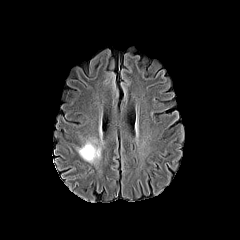
FLAIR MR.
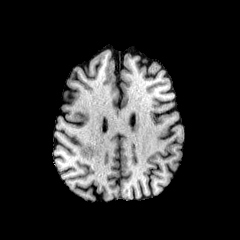
T1-weighted MR of the same slice.
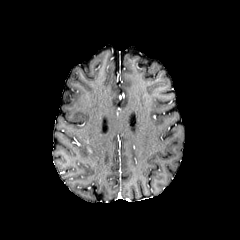
Post-contrast T1-weighted magnetic resonance of the same slice.
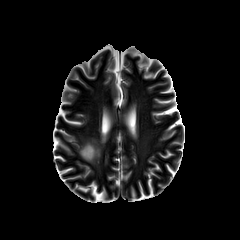
T2-weighted MR of the same slice.
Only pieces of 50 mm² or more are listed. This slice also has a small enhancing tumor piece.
The peritumoral edema is located at 78, 139, 101, 162.